Slice 66/155 | Image width 240 mm, 1.00 mm slice spacing
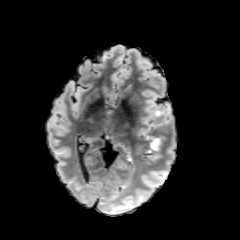
FLAIR MR.
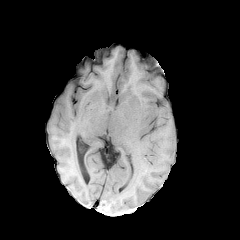
T1-weighted magnetic resonance.
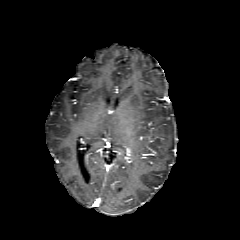
Same slice, post-contrast T1-weighted MR image.
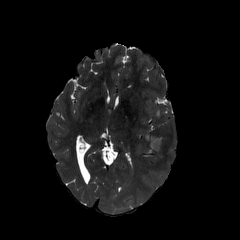
T2-weighted magnetic resonance.
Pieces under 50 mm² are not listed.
peritumoral edema: <bbox>142, 134, 162, 155</bbox>